Brain
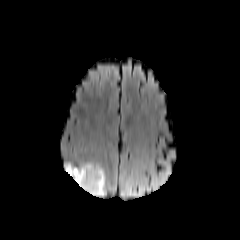
FLAIR magnetic resonance.
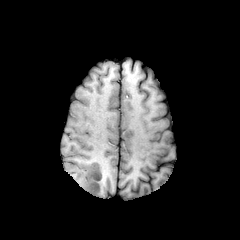
T1-weighted MR.
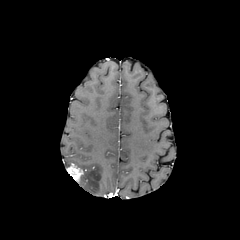
Same slice, post-contrast T1-weighted magnetic resonance.
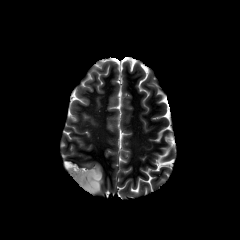
T2-weighted magnetic resonance of the same slice.
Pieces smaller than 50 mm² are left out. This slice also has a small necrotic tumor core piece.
The enhancing tumor is bounded by 66,163,83,183. The largest peritumoral edema region is bounded by 79,163,104,195.